Axial view | Head
FLAIR magnetic resonance.
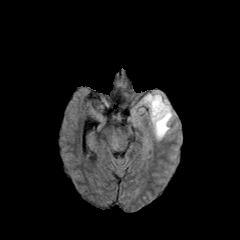
T1-weighted MRI.
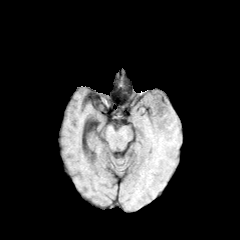
Post-contrast T1-weighted magnetic resonance.
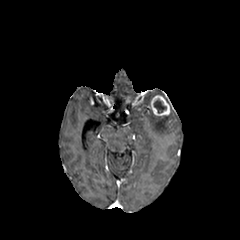
T2-weighted magnetic resonance.
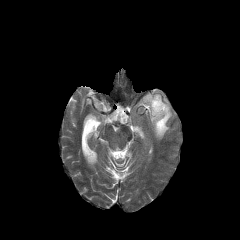
{
  "peritumoral_edema": [
    "(left=143, top=93, right=160, bottom=106)",
    "(left=150, top=110, right=172, bottom=138)"
  ],
  "necrotic_tumor_core": [
    "(left=154, top=99, right=166, bottom=112)"
  ],
  "enhancing_tumor": [
    "(left=149, top=95, right=170, bottom=116)"
  ]
}